Axial slice. Slice 121 of 155. Image size 240x240.
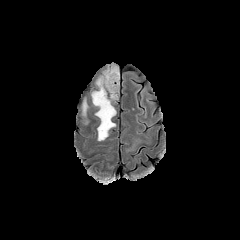
FLAIR magnetic resonance.
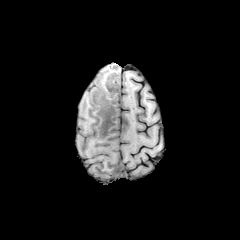
T1-weighted MR.
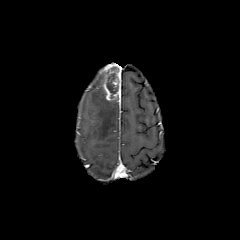
Post-contrast T1-weighted MR.
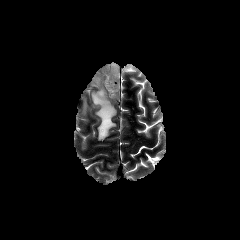
T2-weighted MR image.
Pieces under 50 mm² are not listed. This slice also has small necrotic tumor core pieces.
2 peritumoral edema regions are bounded by (91,73,116,140), (79,99,88,120). The enhancing tumor is bounded by (102,63,120,100).